Axial view | Slice index 61
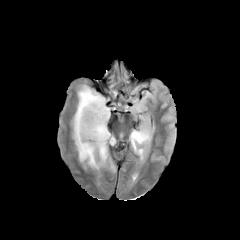
FLAIR magnetic resonance.
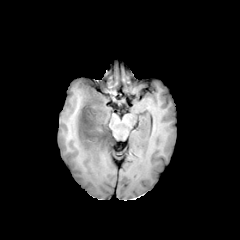
Same slice, T1-weighted MR image.
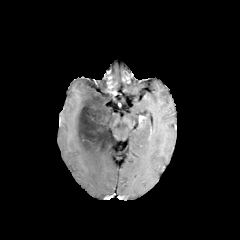
Post-contrast T1-weighted MR image.
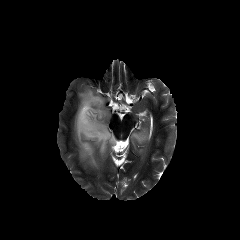
T2-weighted MRI.
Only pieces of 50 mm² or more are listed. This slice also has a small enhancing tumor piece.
The necrotic tumor core appears at bbox=[78, 94, 111, 146]. The 2 largest peritumoral edema regions appear at bbox=[74, 86, 115, 169]; bbox=[130, 129, 150, 155].